Slice 88 of 155. Brain. Axial slice.
FLAIR magnetic resonance.
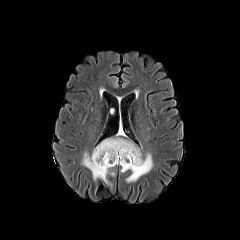
T1-weighted MR.
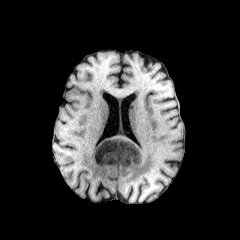
Post-contrast T1-weighted MR image.
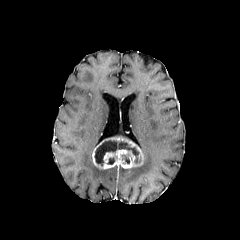
T2-weighted MR image.
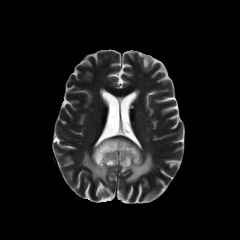
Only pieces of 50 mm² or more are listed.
peritumoral edema: [120,152,153,182], [82,151,114,186]
enhancing tumor: [92,137,143,169]
necrotic tumor core: [95,140,138,165]